FLAIR MR image.
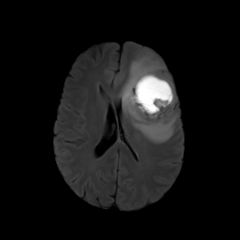
T1-weighted MR.
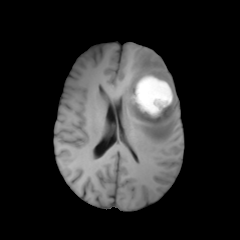
Post-contrast T1-weighted MR.
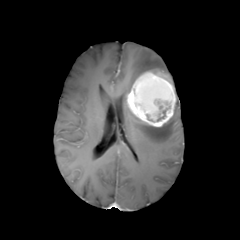
T2-weighted magnetic resonance.
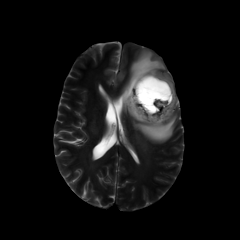
Brain
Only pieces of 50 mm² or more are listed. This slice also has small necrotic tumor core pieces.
peritumoral edema at 119, 50, 177, 143
enhancing tumor at 127, 71, 176, 126